Slice 116 of 155 | Brain
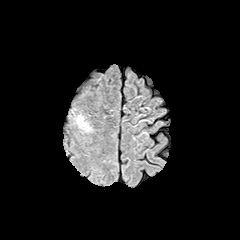
FLAIR magnetic resonance.
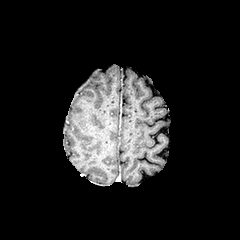
T1-weighted magnetic resonance.
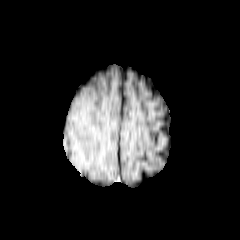
Post-contrast T1-weighted MR.
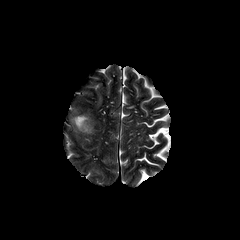
Same slice, T2-weighted MRI.
peritumoral_edema:
  - (x1=74, y1=115, x2=92, y2=132)